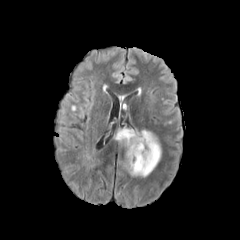
FLAIR MR image.
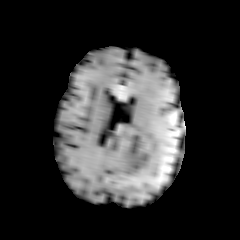
T1-weighted MR image.
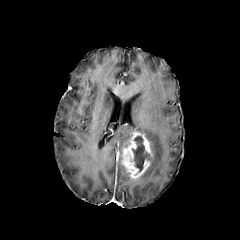
Post-contrast T1-weighted magnetic resonance.
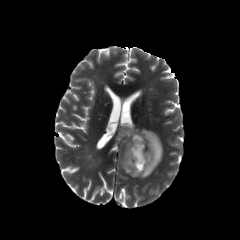
Same slice, T2-weighted MR.
Brain
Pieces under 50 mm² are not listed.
The enhancing tumor appears at bbox=[121, 131, 153, 178]. The necrotic tumor core lies within bbox=[132, 136, 149, 171]. The 2 largest peritumoral edema regions are located at bbox=[116, 128, 137, 146]; bbox=[141, 129, 162, 177].